Image size 240x240, Head, Slice 75 of 155, Axial plane
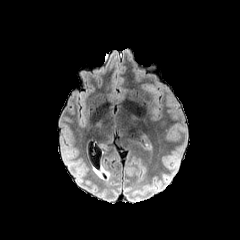
FLAIR MR.
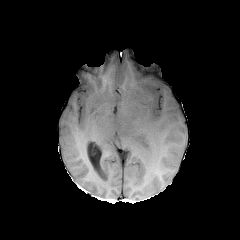
Same slice, T1-weighted magnetic resonance.
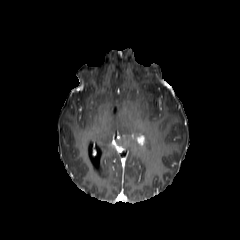
Post-contrast T1-weighted MR image.
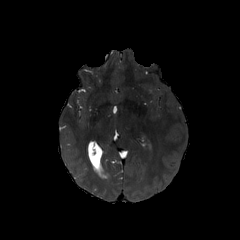
T2-weighted MRI.
peritumoral_edema:
  - [142,136,151,148]